FLAIR MR image.
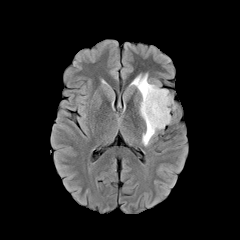
T1-weighted MRI.
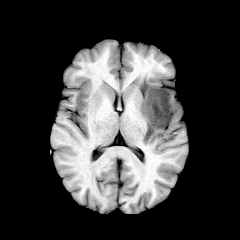
Post-contrast T1-weighted MRI.
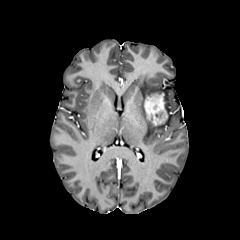
T2-weighted MRI.
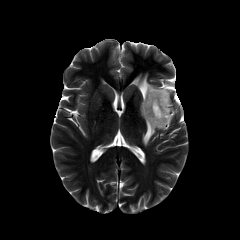
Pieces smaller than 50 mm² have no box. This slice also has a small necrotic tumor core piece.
Annotated regions:
* enhancing tumor: <bbox>144, 92, 167, 125</bbox>
* peritumoral edema: <bbox>131, 74, 173, 146</bbox>